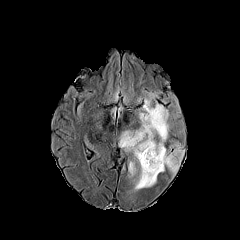
FLAIR magnetic resonance.
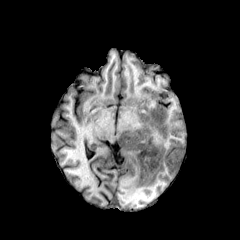
T1-weighted magnetic resonance.
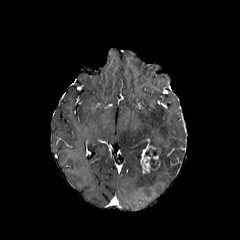
Post-contrast T1-weighted MR image.
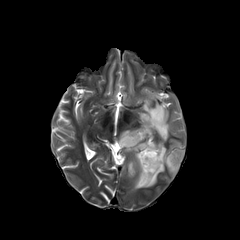
T2-weighted magnetic resonance.
Head. Axial slice.
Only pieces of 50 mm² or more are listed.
* enhancing tumor: (x1=140, y1=144, x2=162, y2=173)
* necrotic tumor core: (x1=145, y1=148, x2=158, y2=167)
* peritumoral edema: (x1=128, y1=161, x2=136, y2=176), (x1=119, y1=97, x2=185, y2=191)